Axial slice. 240x240 px. Image width 240 mm. Slice index 92. Head.
FLAIR MR.
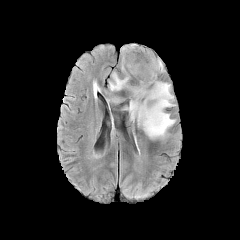
T1-weighted MR.
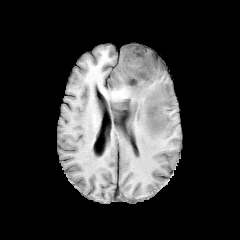
Post-contrast T1-weighted MR.
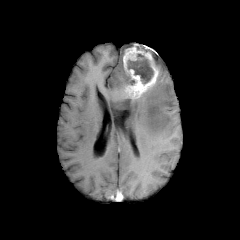
T2-weighted MRI.
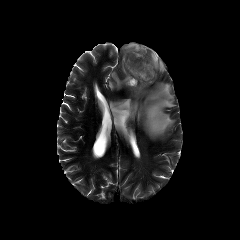
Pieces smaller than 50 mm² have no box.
- enhancing tumor: [123,44,160,98]
- necrotic tumor core: [126,54,153,85], [142,48,158,66]
- peritumoral edema: [157,56,164,73], [100,44,175,138]